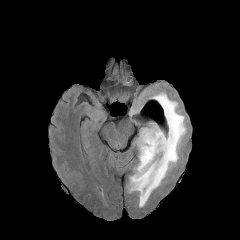
FLAIR MRI.
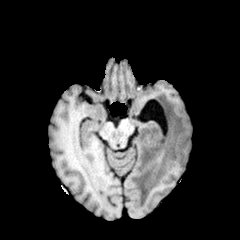
T1-weighted MR.
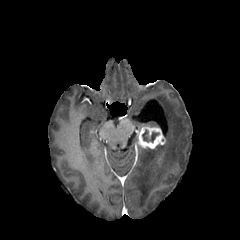
Same slice, post-contrast T1-weighted MR.
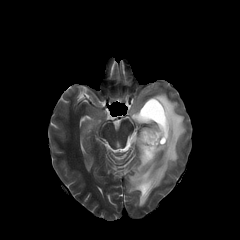
Same slice, T2-weighted MR image.
240x240; Axial slice
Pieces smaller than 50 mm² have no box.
Findings:
* necrotic tumor core: bbox=[142, 130, 159, 142]
* enhancing tumor: bbox=[136, 127, 165, 148]
* peritumoral edema: bbox=[127, 92, 186, 207]